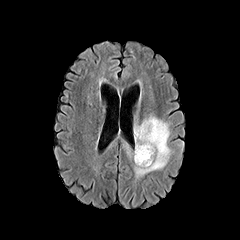
FLAIR MR image.
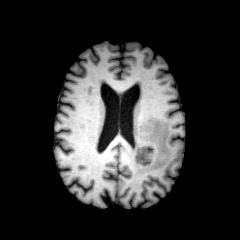
T1-weighted MR.
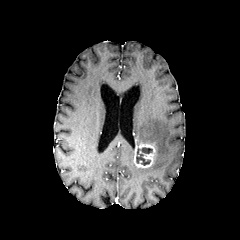
Post-contrast T1-weighted magnetic resonance.
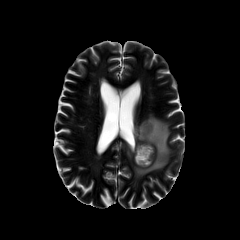
T2-weighted magnetic resonance of the same slice.
Brain, Axial slice
{
  "necrotic_tumor_core": [
    "rect(136, 147, 152, 165)"
  ],
  "enhancing_tumor": [
    "rect(134, 143, 155, 168)"
  ],
  "peritumoral_edema": [
    "rect(124, 144, 131, 160)",
    "rect(133, 112, 172, 180)"
  ]
}